Brain
FLAIR MR image.
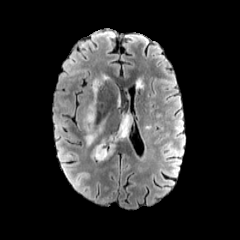
T1-weighted MR image.
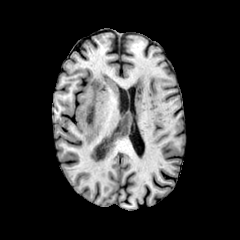
Post-contrast T1-weighted magnetic resonance.
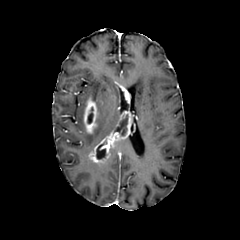
T2-weighted MR image.
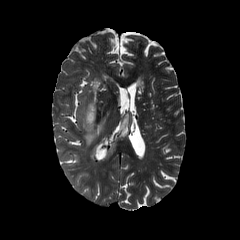
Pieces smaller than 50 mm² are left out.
enhancing_tumor:
  - 89,112,131,163
  - 83,97,98,133
peritumoral_edema:
  - 135,78,144,88
  - 92,78,101,101
  - 85,121,104,145
necrotic_tumor_core:
  - 96,144,105,159
  - 117,114,128,135